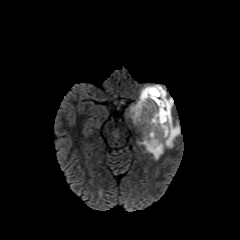
FLAIR MR.
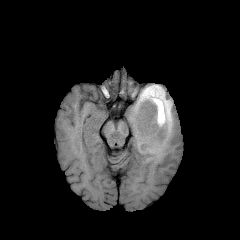
T1-weighted magnetic resonance of the same slice.
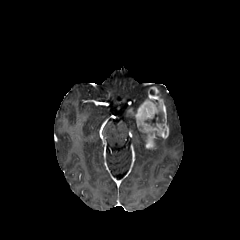
Post-contrast T1-weighted MR.
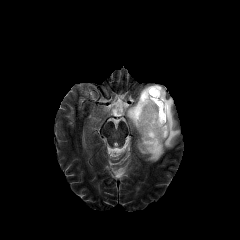
T2-weighted MR of the same slice.
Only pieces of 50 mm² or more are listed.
enhancing tumor: <box>128,87,168,148</box>
peritumoral edema: <box>129,84,180,160</box>, <box>127,111,138,130</box>
necrotic tumor core: <box>145,111,163,124</box>